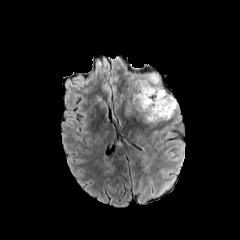
FLAIR magnetic resonance.
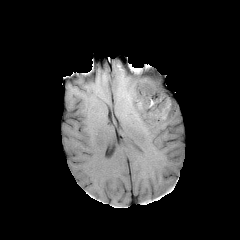
Same slice, T1-weighted magnetic resonance.
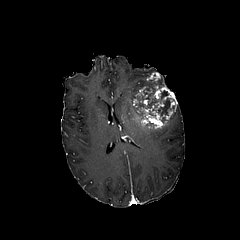
Post-contrast T1-weighted MR.
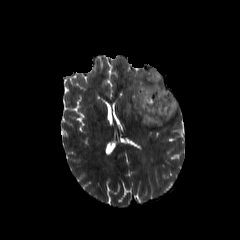
Same slice, T2-weighted MR image.
Axial view. Brain.
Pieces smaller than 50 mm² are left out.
necrotic tumor core = <box>134,86,158,109</box>, <box>158,98,174,115</box>
peritumoral edema = <box>134,74,154,87</box>
enhancing tumor = <box>138,85,177,128</box>, <box>147,72,160,83</box>, <box>133,84,150,108</box>